FLAIR magnetic resonance.
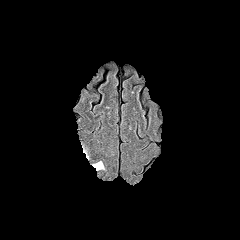
T1-weighted magnetic resonance.
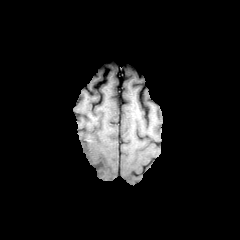
Post-contrast T1-weighted MRI.
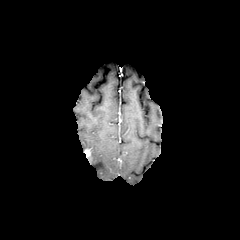
T2-weighted MR image.
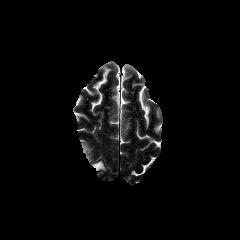
Brain | Axial slice | 240x240 px
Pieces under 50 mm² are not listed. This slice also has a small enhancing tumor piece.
The largest peritumoral edema region is at {"x1": 92, "y1": 161, "x2": 104, "y2": 170}.